Slice 89/155. Axial slice. Brain.
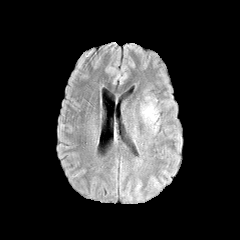
FLAIR MR image.
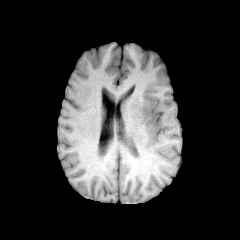
T1-weighted MRI.
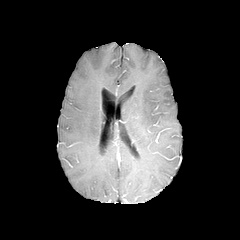
Post-contrast T1-weighted magnetic resonance.
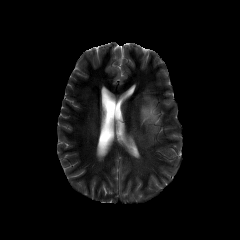
T2-weighted MRI of the same slice.
peritumoral edema — [x1=140, y1=96, x2=158, y2=132]